FLAIR MR.
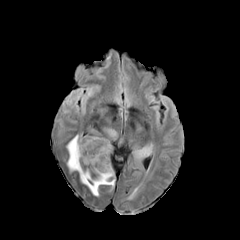
T1-weighted MRI.
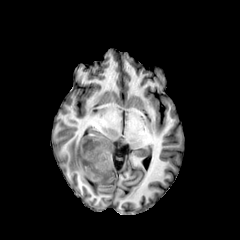
Post-contrast T1-weighted magnetic resonance.
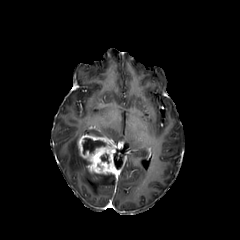
T2-weighted MRI.
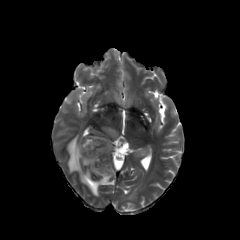
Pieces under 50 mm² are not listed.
enhancing tumor — bbox=[78, 135, 114, 174]
necrotic tumor core — bbox=[83, 138, 105, 154]; bbox=[101, 154, 109, 163]
peritumoral edema — bbox=[67, 135, 114, 196]; bbox=[107, 128, 117, 137]; bbox=[136, 150, 147, 156]